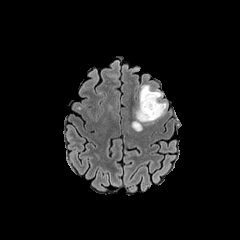
FLAIR magnetic resonance.
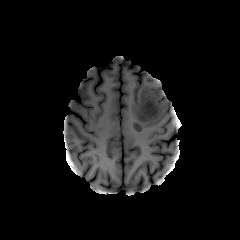
T1-weighted MR image of the same slice.
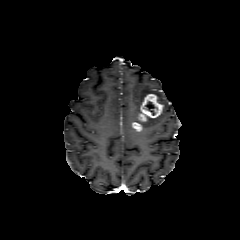
Same slice, post-contrast T1-weighted MR image.
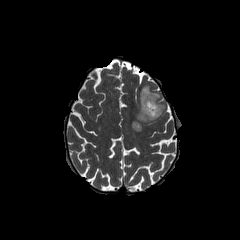
Same slice, T2-weighted magnetic resonance.
Image size 240x240
The necrotic tumor core is located at [x1=145, y1=101, x2=156, y2=115]. 2 enhancing tumor regions are located at [x1=132, y1=122, x2=142, y2=130], [x1=138, y1=94, x2=163, y2=121]. 2 peritumoral edema regions are located at [x1=132, y1=85, x2=161, y2=124], [x1=146, y1=102, x2=166, y2=121].